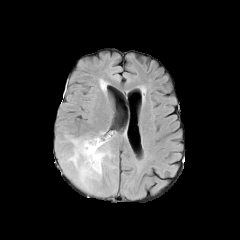
FLAIR MR.
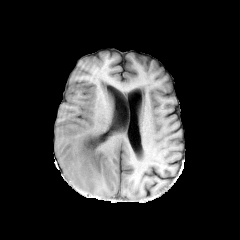
Same slice, T1-weighted magnetic resonance.
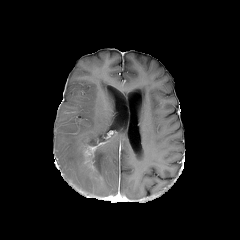
Post-contrast T1-weighted MRI of the same slice.
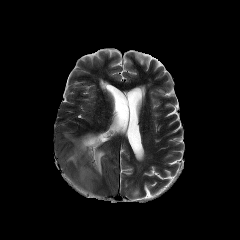
T2-weighted MR image of the same slice.
Head. 240x240 px. Axial slice.
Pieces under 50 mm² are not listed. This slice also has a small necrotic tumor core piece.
peritumoral edema: <bbox>66, 135, 110, 187</bbox>
enhancing tumor: <bbox>81, 136, 104, 171</bbox>